FLAIR magnetic resonance.
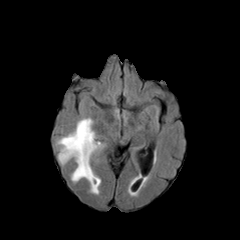
T1-weighted MR image.
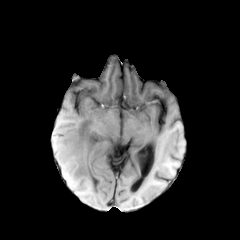
Post-contrast T1-weighted magnetic resonance.
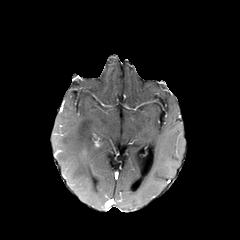
T2-weighted MRI.
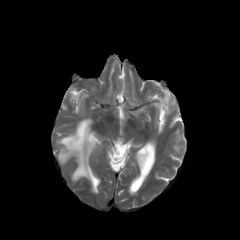
Brain
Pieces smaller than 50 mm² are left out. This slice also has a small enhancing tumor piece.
peritumoral edema: x1=57 y1=118 x2=101 y2=193